Slice 118/155 | Head
FLAIR MRI.
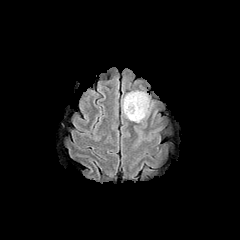
T1-weighted MR.
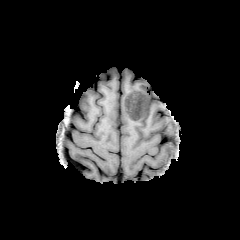
Post-contrast T1-weighted magnetic resonance.
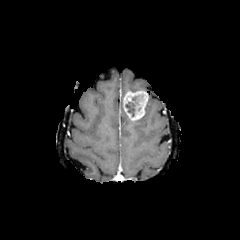
T2-weighted MRI.
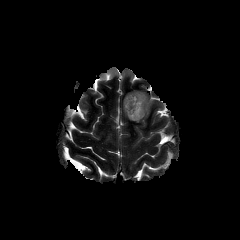
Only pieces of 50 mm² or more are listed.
enhancing tumor: {"x1": 123, "y1": 91, "x2": 148, "y2": 120} | peritumoral edema: {"x1": 134, "y1": 97, "x2": 153, "y2": 122} | necrotic tumor core: {"x1": 125, "y1": 102, "x2": 135, "y2": 116}